FLAIR MR.
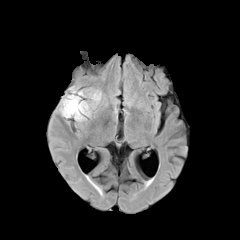
T1-weighted MRI.
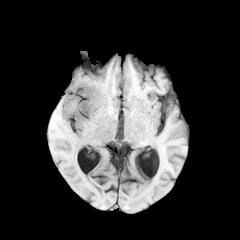
Post-contrast T1-weighted magnetic resonance.
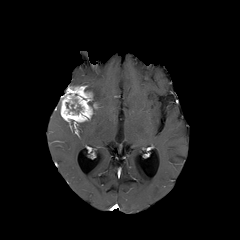
T2-weighted MR image.
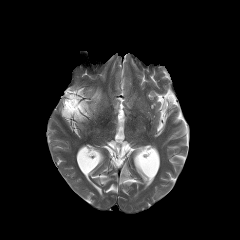
240x240 px; Axial slice
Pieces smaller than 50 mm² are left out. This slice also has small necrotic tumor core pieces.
enhancing_tumor:
  - [x1=60, y1=86, x2=97, y2=125]
peritumoral_edema:
  - [x1=85, y1=89, x2=101, y2=106]